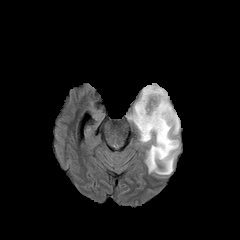
FLAIR MR.
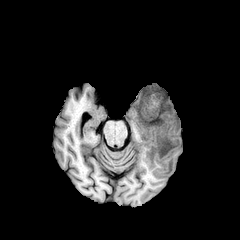
Same slice, T1-weighted magnetic resonance.
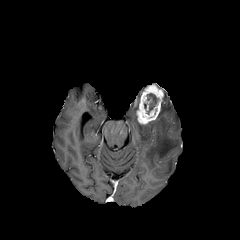
Post-contrast T1-weighted MRI of the same slice.
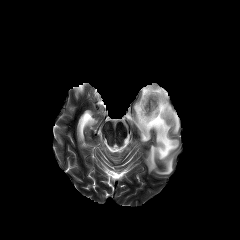
T2-weighted MR.
Axial plane
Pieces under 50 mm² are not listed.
The peritumoral edema appears at [126,91,179,174]. The enhancing tumor appears at [136,84,164,125]. The largest necrotic tumor core region lies within [148,94,156,113].